Head, Axial view, Image width 240 mm, 1.00 mm slice spacing
FLAIR MR.
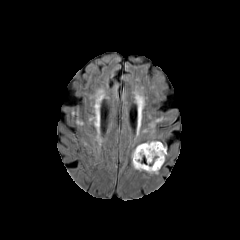
T1-weighted MR image.
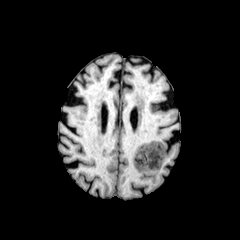
Post-contrast T1-weighted magnetic resonance.
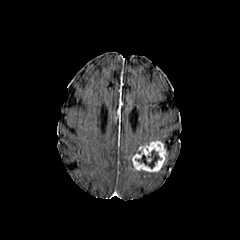
T2-weighted MRI.
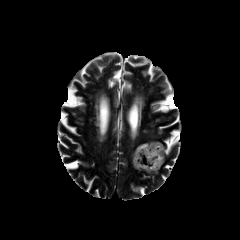
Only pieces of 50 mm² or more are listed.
peritumoral edema: <bbox>131, 141, 151, 158</bbox>
necrotic tumor core: <bbox>137, 150, 159, 168</bbox>
enhancing tumor: <bbox>132, 141, 167, 172</bbox>